FLAIR MR image.
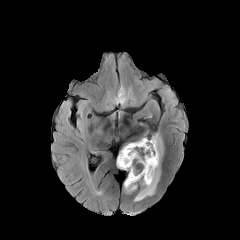
T1-weighted magnetic resonance.
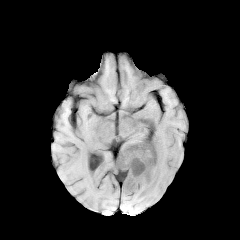
Post-contrast T1-weighted MRI.
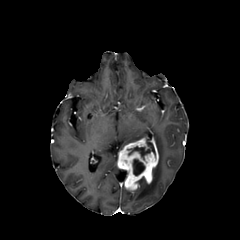
T2-weighted MR image.
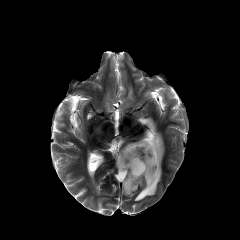
Axial view.
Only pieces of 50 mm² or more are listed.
<segmentation>
  <enhancing_tumor>box=[117, 137, 158, 191]</enhancing_tumor>
  <peritumoral_edema>box=[134, 133, 163, 201]</peritumoral_edema>
  <necrotic_tumor_core>box=[133, 159, 144, 175]; box=[128, 139, 155, 158]</necrotic_tumor_core>
</segmentation>